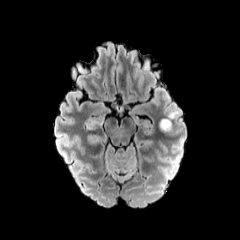
FLAIR MR image.
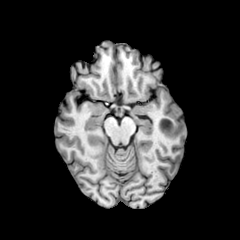
T1-weighted MR image.
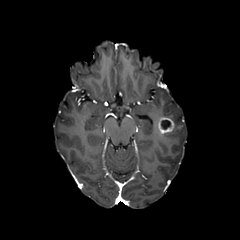
Post-contrast T1-weighted MR of the same slice.
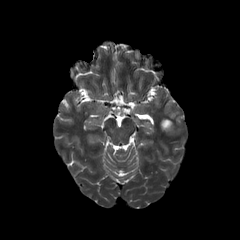
T2-weighted MR of the same slice.
Head
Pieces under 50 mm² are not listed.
enhancing_tumor:
  - (left=158, top=117, right=175, bottom=134)
peritumoral_edema:
  - (left=167, top=111, right=179, bottom=119)
necrotic_tumor_core:
  - (left=161, top=120, right=170, bottom=129)